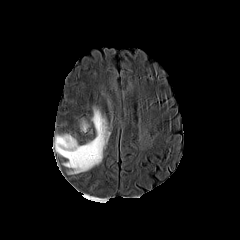
FLAIR MR image.
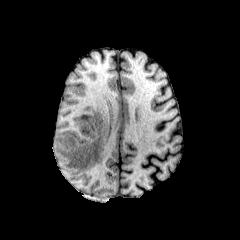
T1-weighted MR of the same slice.
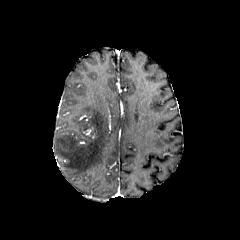
Same slice, post-contrast T1-weighted MRI.
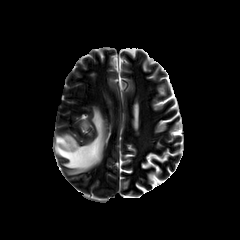
Same slice, T2-weighted MR.
{
  "peritumoral_edema": [
    {"x1": 81, "y1": 121, "x2": 88, "y2": 131},
    {"x1": 54, "y1": 108, "x2": 109, "y2": 174}
  ]
}